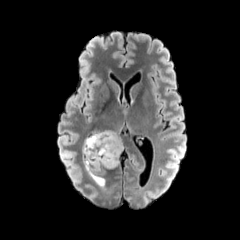
FLAIR MR image.
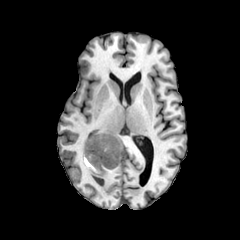
T1-weighted MR image.
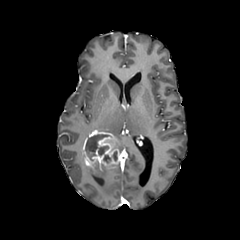
Same slice, post-contrast T1-weighted MR image.
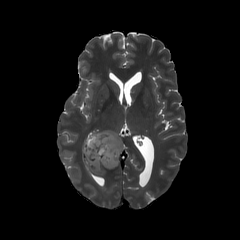
T2-weighted MR image of the same slice.
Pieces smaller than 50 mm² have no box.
The 2 largest necrotic tumor core regions appear at <box>98,146,108,155</box>, <box>85,134,108,158</box>. The 2 largest peritumoral edema regions appear at <box>82,154,118,186</box>, <box>99,130,123,152</box>. The largest enhancing tumor region is at <box>82,130,120,169</box>.